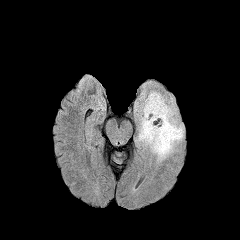
FLAIR MRI.
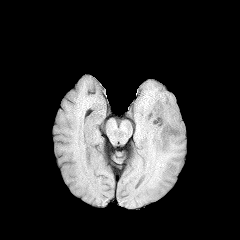
Same slice, T1-weighted MR image.
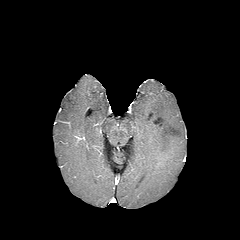
Post-contrast T1-weighted magnetic resonance.
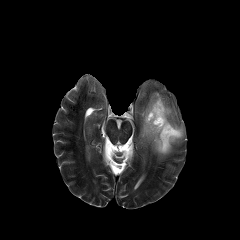
T2-weighted MRI.
Head, Axial slice
The peritumoral edema is bounded by (136,91,184,161).